Axial plane
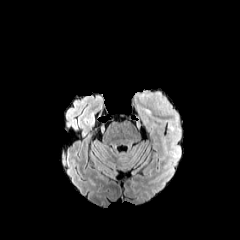
FLAIR magnetic resonance.
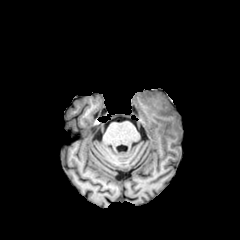
T1-weighted MR.
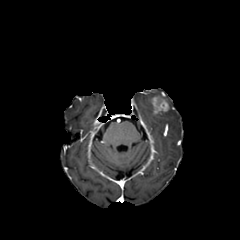
Post-contrast T1-weighted magnetic resonance.
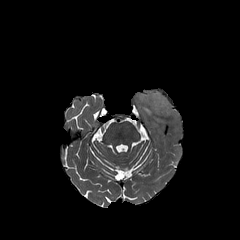
T2-weighted magnetic resonance.
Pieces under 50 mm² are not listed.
- peritumoral edema: 137,92,177,120; 168,120,177,132
- enhancing tumor: 150,96,169,114